FLAIR MR.
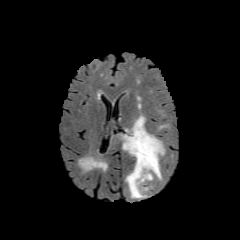
T1-weighted magnetic resonance.
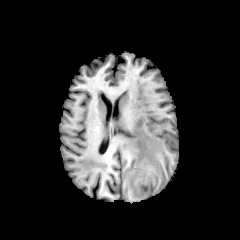
Post-contrast T1-weighted MR.
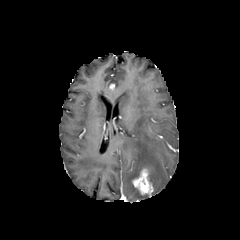
T2-weighted MR.
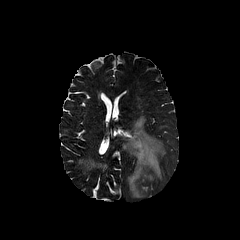
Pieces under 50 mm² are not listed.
{"peritumoral_edema": ["rect(122, 115, 165, 198)"], "enhancing_tumor": ["rect(132, 169, 152, 194)"]}